240x240 | Axial view
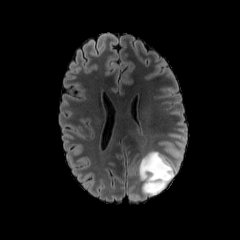
FLAIR MR.
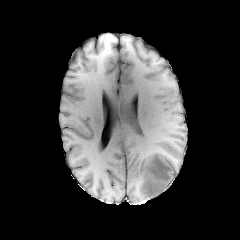
T1-weighted MRI.
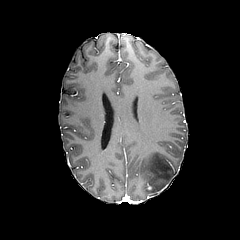
Same slice, post-contrast T1-weighted MR image.
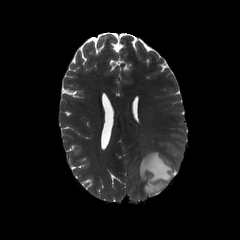
Same slice, T2-weighted MR image.
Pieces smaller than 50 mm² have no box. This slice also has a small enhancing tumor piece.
peritumoral edema = 138,151,178,195